FLAIR MRI.
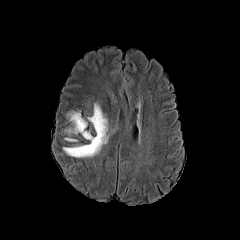
T1-weighted MR image.
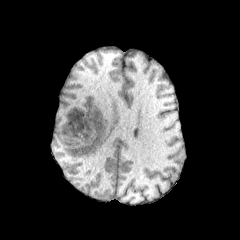
Post-contrast T1-weighted MR image.
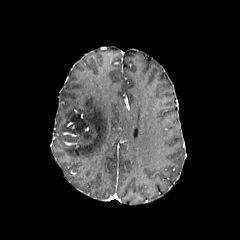
T2-weighted MRI.
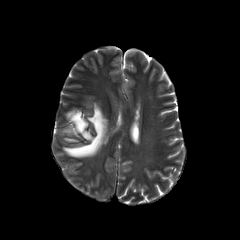
Axial slice, Image size 240x240, Head
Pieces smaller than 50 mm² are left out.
• peritumoral edema: (63, 103, 108, 157)